Image width 240 mm, 1.00 mm slice spacing
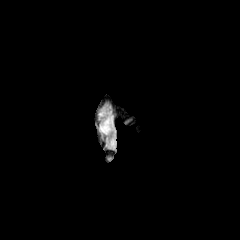
FLAIR MR image.
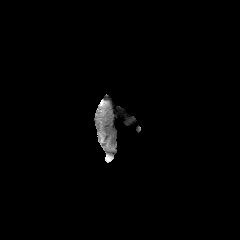
T1-weighted magnetic resonance of the same slice.
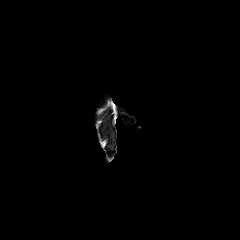
Post-contrast T1-weighted MR image.
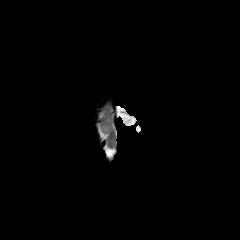
T2-weighted MRI.
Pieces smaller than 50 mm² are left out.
peritumoral edema — <bbox>100, 112, 111, 133</bbox>